FLAIR magnetic resonance.
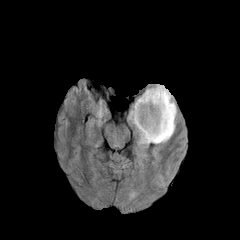
T1-weighted magnetic resonance.
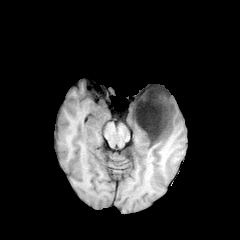
Post-contrast T1-weighted MR.
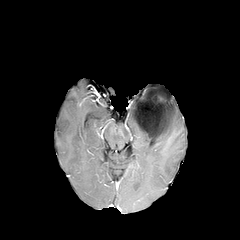
T2-weighted MR image.
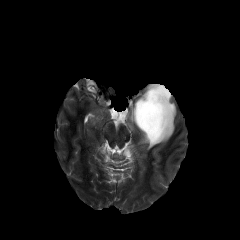
Head; Image size 240x240
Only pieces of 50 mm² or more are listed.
Segmented structures:
* enhancing tumor: [x1=133, y1=86, x2=173, y2=141]
* necrotic tumor core: [x1=134, y1=87, x2=172, y2=138]
* peritumoral edema: [x1=128, y1=95, x2=177, y2=145]